Slice 76/155 | 240x240
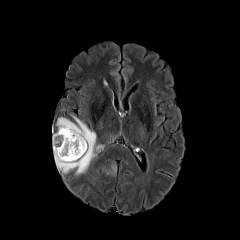
FLAIR magnetic resonance.
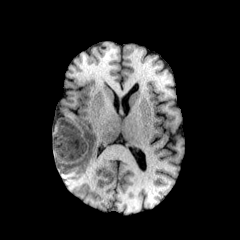
Same slice, T1-weighted MRI.
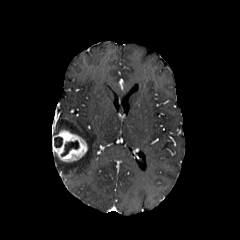
Post-contrast T1-weighted MR of the same slice.
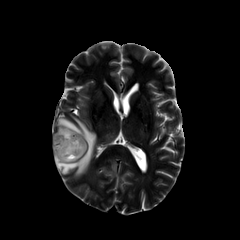
Same slice, T2-weighted magnetic resonance.
enhancing tumor: bounding box {"x1": 52, "y1": 129, "x2": 87, "y2": 161}
necrotic tumor core: bounding box {"x1": 54, "y1": 137, "x2": 62, "y2": 147}, {"x1": 61, "y1": 141, "x2": 79, "y2": 156}
peritumoral edema: bounding box {"x1": 54, "y1": 116, "x2": 96, "y2": 175}